Slice 100/155; Axial slice; Image covers 240 mm x 240 mm
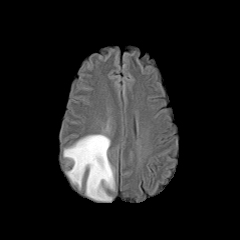
FLAIR MR image.
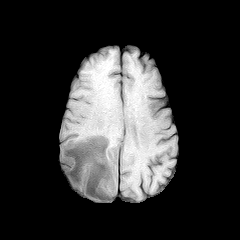
T1-weighted MR image.
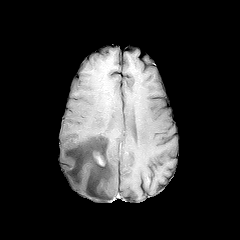
Post-contrast T1-weighted magnetic resonance.
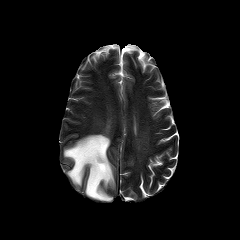
T2-weighted MR of the same slice.
Findings:
- enhancing tumor: (94,153,104,165)
- peritumoral edema: (63,134,114,201)